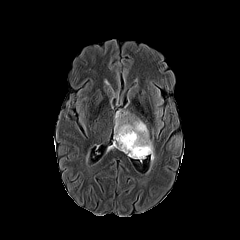
FLAIR magnetic resonance.
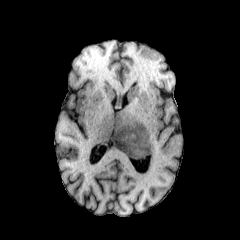
Same slice, T1-weighted MRI.
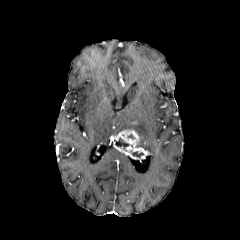
Post-contrast T1-weighted MR image.
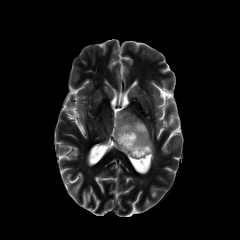
Same slice, T2-weighted MRI.
Axial slice
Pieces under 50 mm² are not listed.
peritumoral edema: bbox=[114, 112, 154, 159] | necrotic tumor core: bbox=[115, 138, 128, 147] | enhancing tumor: bbox=[113, 129, 149, 159]